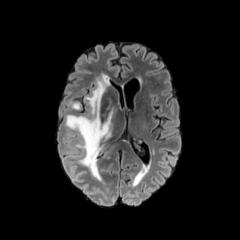
FLAIR MR image.
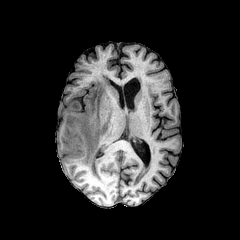
T1-weighted MR.
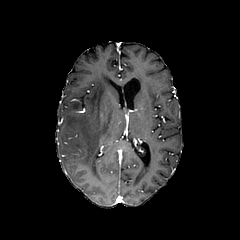
Post-contrast T1-weighted MR image.
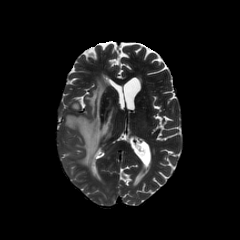
T2-weighted MR.
240x240
peritumoral_edema:
  - <bbox>65, 76, 116, 179</bbox>
  - <bbox>71, 102, 79, 109</bbox>